240x240 px. Brain.
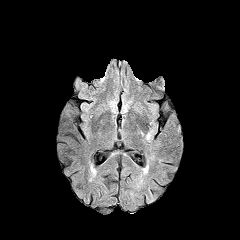
FLAIR MRI.
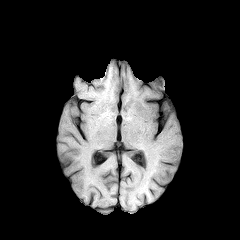
T1-weighted MRI.
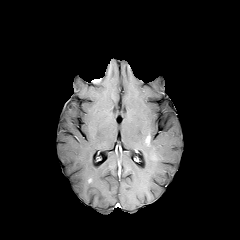
Post-contrast T1-weighted magnetic resonance of the same slice.
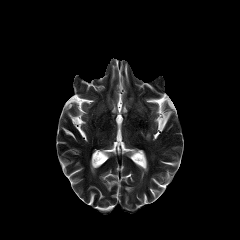
T2-weighted MR.
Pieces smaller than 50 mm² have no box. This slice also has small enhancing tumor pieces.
peritumoral edema: region(145, 130, 153, 144)